FLAIR MRI.
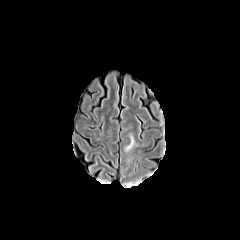
T1-weighted magnetic resonance.
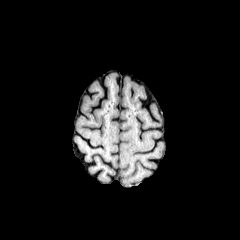
Post-contrast T1-weighted MR image.
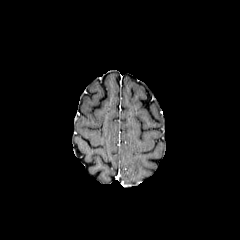
T2-weighted MRI.
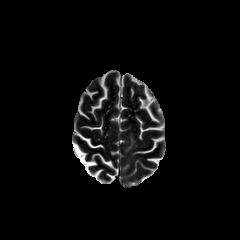
{"peritumoral_edema": ["126, 136, 134, 150"]}